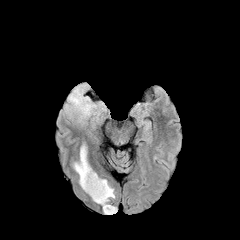
FLAIR MR.
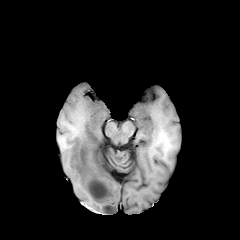
T1-weighted MR.
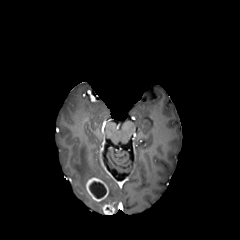
Post-contrast T1-weighted MR of the same slice.
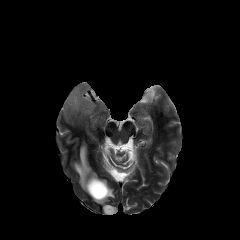
T2-weighted magnetic resonance.
Axial view. Head. 240x240.
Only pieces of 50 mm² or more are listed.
<segmentation>
  <enhancing_tumor>rect(103, 204, 115, 214); rect(86, 177, 108, 201)</enhancing_tumor>
  <necrotic_tumor_core>rect(89, 181, 106, 198)</necrotic_tumor_core>
  <peritumoral_edema>rect(66, 86, 95, 126); rect(96, 179, 114, 205); rect(73, 144, 98, 193)</peritumoral_edema>
</segmentation>